FLAIR MR image.
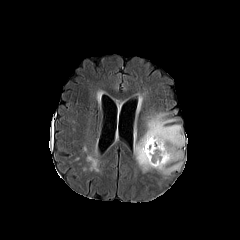
T1-weighted MR.
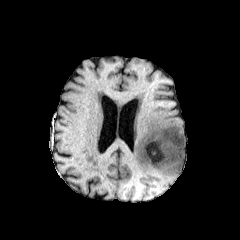
Post-contrast T1-weighted MR image.
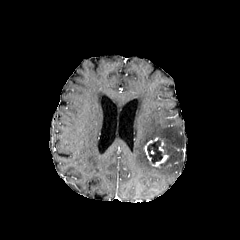
T2-weighted MR image.
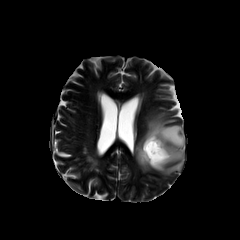
Axial plane
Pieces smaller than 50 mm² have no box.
necrotic tumor core — 147,140,165,163
peritumoral edema — 134,113,184,176
enhancing tumor — 144,137,168,168